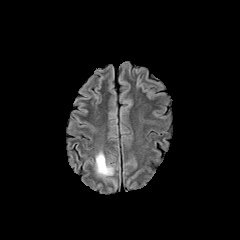
FLAIR MR image.
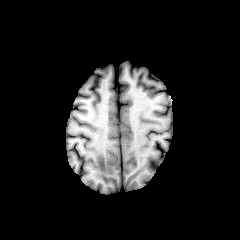
Same slice, T1-weighted magnetic resonance.
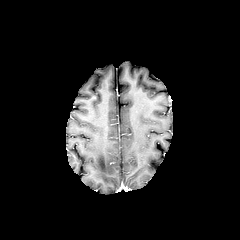
Post-contrast T1-weighted MR image.
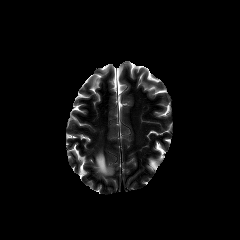
Same slice, T2-weighted magnetic resonance.
Axial plane
Findings:
* peritumoral edema: 96, 152, 113, 176